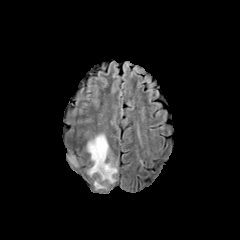
FLAIR MR.
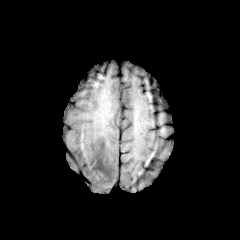
T1-weighted MRI of the same slice.
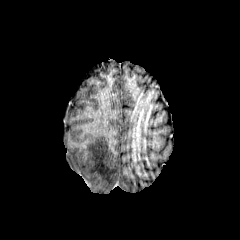
Post-contrast T1-weighted MR image.
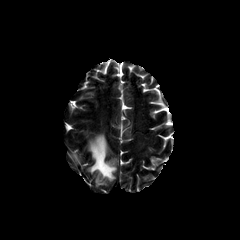
T2-weighted MRI.
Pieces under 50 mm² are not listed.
peritumoral edema: [87,134,117,188]